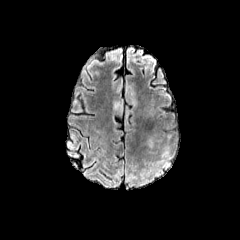
FLAIR MR.
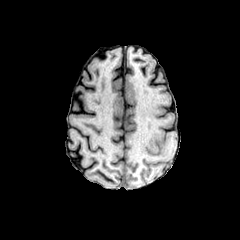
T1-weighted magnetic resonance of the same slice.
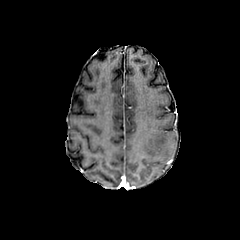
Post-contrast T1-weighted MRI of the same slice.
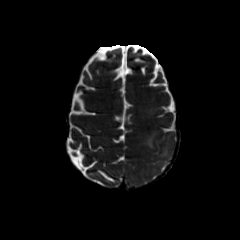
T2-weighted magnetic resonance.
Head
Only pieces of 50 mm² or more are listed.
The 2 largest peritumoral edema regions are located at 141 132 155 147, 162 147 168 156.